Head. Axial slice.
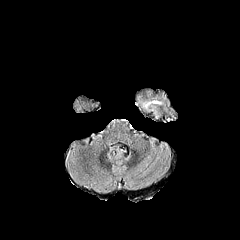
FLAIR MR.
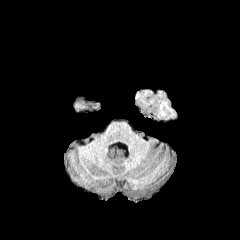
Same slice, T1-weighted MR image.
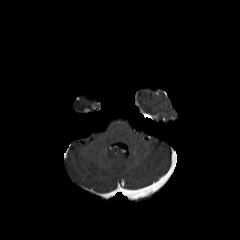
Post-contrast T1-weighted MR.
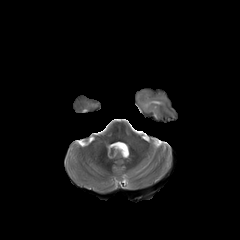
T2-weighted MR image.
<segmentation>
  <peritumoral_edema>138:91:168:118</peritumoral_edema>
</segmentation>